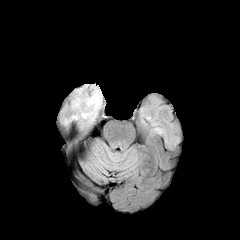
FLAIR magnetic resonance.
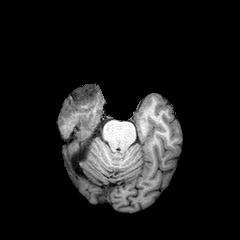
T1-weighted MR of the same slice.
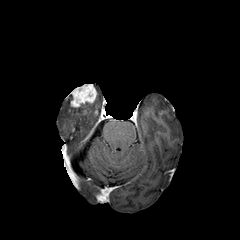
Post-contrast T1-weighted magnetic resonance.
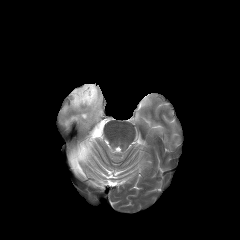
T2-weighted magnetic resonance.
Axial plane
enhancing tumor — left=70, top=84, right=97, bottom=107
peritumoral edema — left=63, top=84, right=102, bottom=125